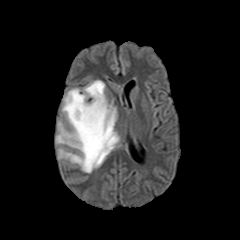
FLAIR MR image.
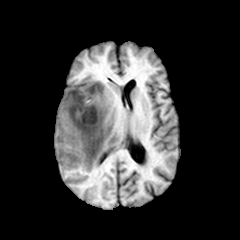
T1-weighted MR image of the same slice.
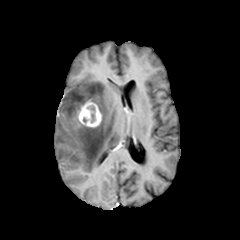
Same slice, post-contrast T1-weighted MRI.
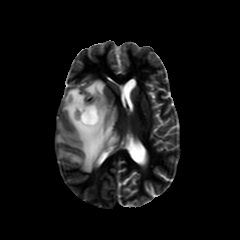
T2-weighted MRI.
Axial slice | Brain
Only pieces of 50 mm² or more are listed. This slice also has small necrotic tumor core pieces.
peritumoral edema: l=56, t=80, r=119, b=172
enhancing tumor: l=76, t=102, r=101, b=127